FLAIR MRI.
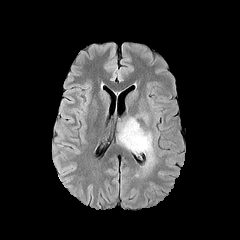
T1-weighted magnetic resonance.
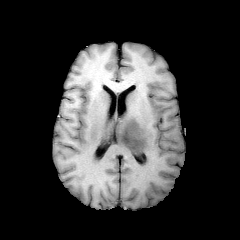
Post-contrast T1-weighted MR.
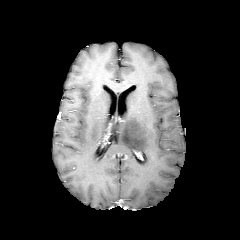
T2-weighted MR image.
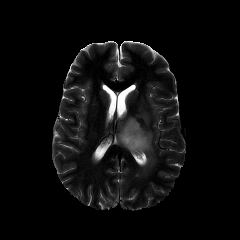
Axial slice. 240x240 px.
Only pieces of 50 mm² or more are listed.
- peritumoral edema: 117:115:155:170